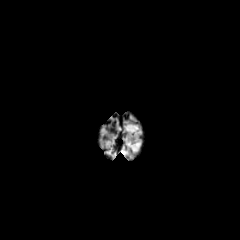
FLAIR MR image.
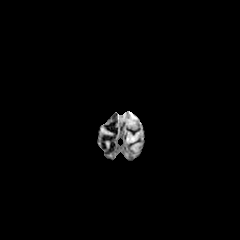
T1-weighted MRI.
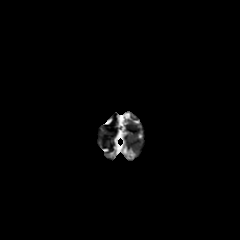
Same slice, post-contrast T1-weighted magnetic resonance.
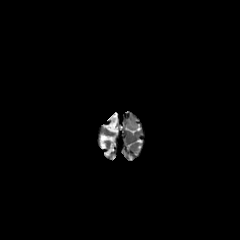
T2-weighted MR.
Head.
peritumoral edema: 126 124 136 130